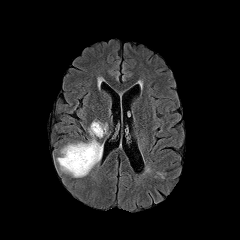
FLAIR MR image.
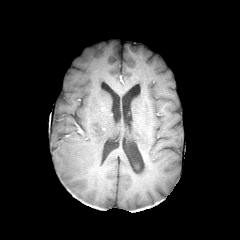
T1-weighted magnetic resonance.
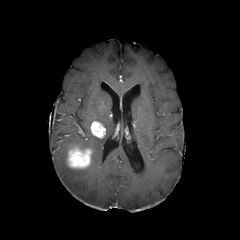
Post-contrast T1-weighted MR image.
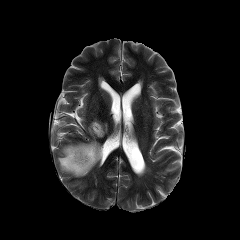
T2-weighted magnetic resonance of the same slice.
Brain, 240x240
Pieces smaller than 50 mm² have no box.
<segmentation>
  <enhancing_tumor>x1=90 y1=121 x2=105 y2=137, x1=67 y1=145 x2=92 y2=169</enhancing_tumor>
  <peritumoral_edema>x1=56 y1=127 x2=103 y2=177</peritumoral_edema>
</segmentation>